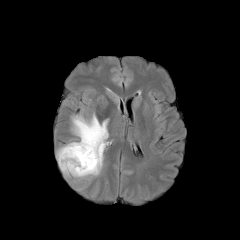
FLAIR MRI.
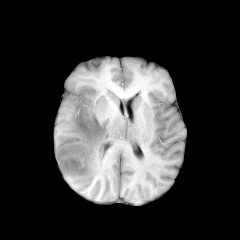
T1-weighted MR.
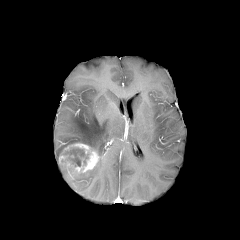
Post-contrast T1-weighted MRI.
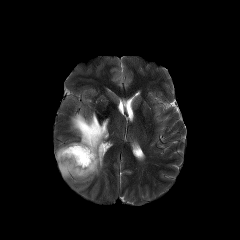
T2-weighted MR image.
Axial slice.
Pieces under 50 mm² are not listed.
The largest enhancing tumor region is located at box(59, 143, 99, 176). The necrotic tumor core is at box(64, 148, 88, 166). The peritumoral edema appears at box(56, 113, 108, 180).